FLAIR MR image.
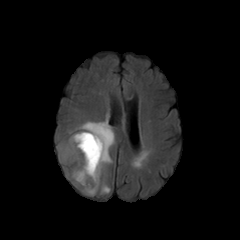
T1-weighted MR.
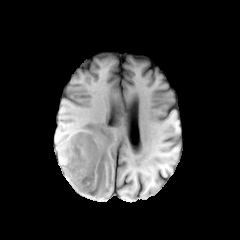
Post-contrast T1-weighted MRI.
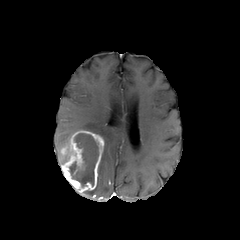
T2-weighted MR.
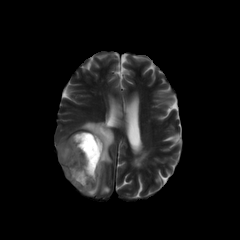
Head, 240x240
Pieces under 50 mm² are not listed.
The largest enhancing tumor region is at 61,130,104,193. The necrotic tumor core is located at 69,133,98,185. 2 peritumoral edema regions appear at 57,138,74,163; 75,113,115,195.